Axial slice
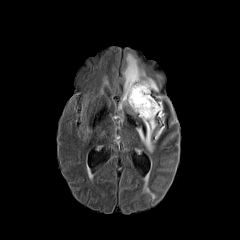
FLAIR MRI.
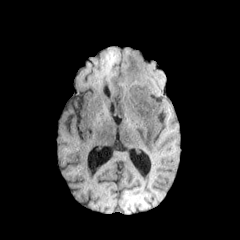
T1-weighted magnetic resonance of the same slice.
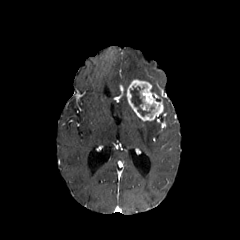
Post-contrast T1-weighted MRI.
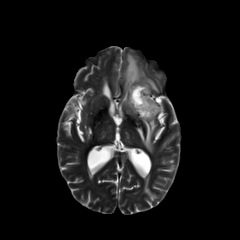
T2-weighted MRI of the same slice.
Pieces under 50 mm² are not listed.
enhancing tumor: [x1=126, y1=79, x2=163, y2=121] | necrotic tumor core: [x1=130, y1=86, x2=154, y2=116] | peritumoral edema: [x1=136, y1=120, x2=157, y2=152], [x1=118, y1=53, x2=158, y2=110]